FLAIR MRI.
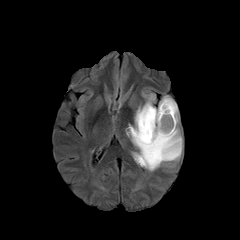
T1-weighted MR.
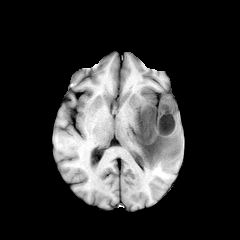
Post-contrast T1-weighted MRI.
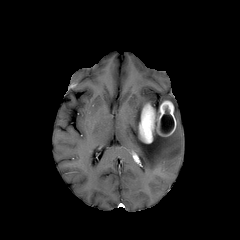
T2-weighted MRI.
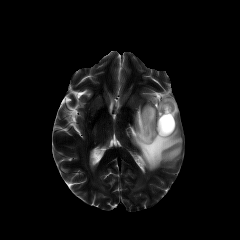
240x240 | Axial slice
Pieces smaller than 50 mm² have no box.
{
  "necrotic_tumor_core": [
    "region(160, 108, 174, 133)"
  ],
  "enhancing_tumor": [
    "region(138, 100, 176, 143)"
  ],
  "peritumoral_edema": [
    "region(146, 94, 155, 107)",
    "region(126, 95, 182, 171)"
  ]
}